Slice 75 of 155. Head. 240x240.
FLAIR MR.
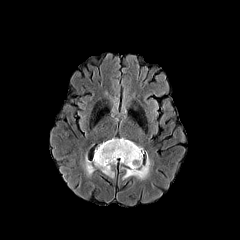
T1-weighted MR image.
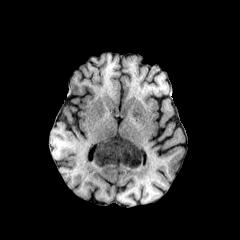
Post-contrast T1-weighted MR image.
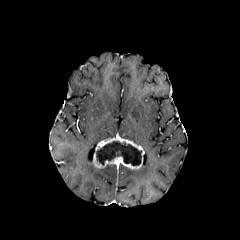
T2-weighted magnetic resonance.
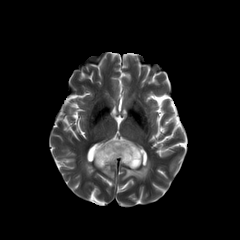
The enhancing tumor lies within box(93, 136, 144, 169). The necrotic tumor core is bounded by box(96, 141, 141, 165). 3 peritumoral edema regions are located at box(121, 159, 150, 179); box(85, 160, 94, 174); box(101, 165, 114, 177).